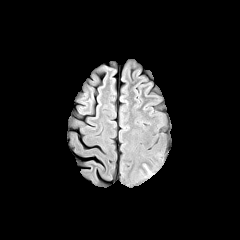
FLAIR MR.
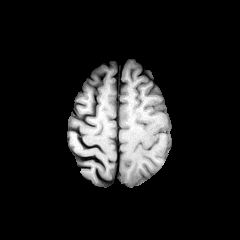
T1-weighted MR.
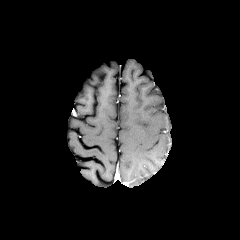
Post-contrast T1-weighted MR image of the same slice.
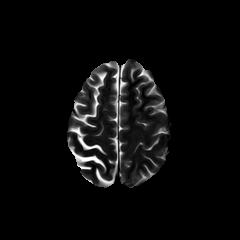
Same slice, T2-weighted magnetic resonance.
Brain. Axial view.
* peritumoral edema: x1=139, y1=163, x2=158, y2=180